FLAIR MR.
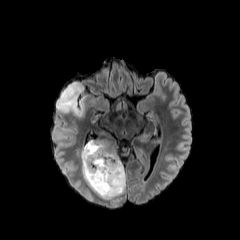
T1-weighted MR.
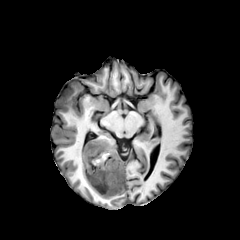
Post-contrast T1-weighted MRI.
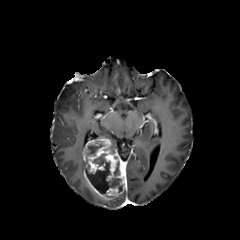
T2-weighted MR.
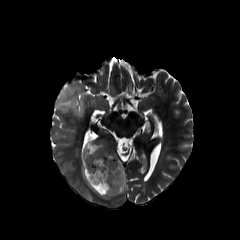
Axial view, Brain
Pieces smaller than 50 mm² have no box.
* peritumoral edema: (x1=81, y1=154, x2=85, y2=181), (x1=56, y1=82, x2=85, y2=116), (x1=83, y1=190, x2=93, y2=200)
* necrotic tumor core: (x1=87, y1=144, x2=104, y2=155), (x1=85, y1=153, x2=122, y2=193), (x1=114, y1=161, x2=119, y2=175)
* enhancing tumor: (x1=82, y1=138, x2=126, y2=200)